FLAIR magnetic resonance.
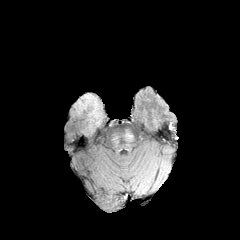
T1-weighted MR image.
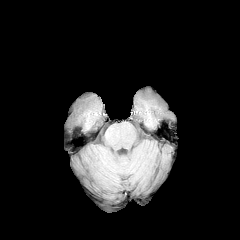
Post-contrast T1-weighted magnetic resonance.
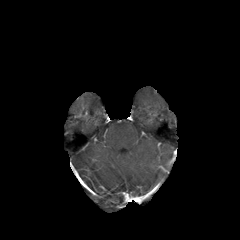
T2-weighted magnetic resonance.
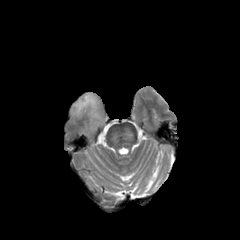
Brain, 240x240, Axial plane
The peritumoral edema lies within [75,94,98,117].